FLAIR magnetic resonance.
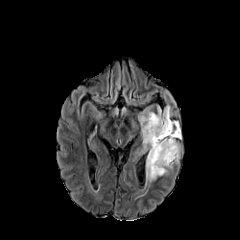
T1-weighted MR.
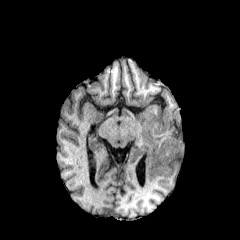
Post-contrast T1-weighted MRI.
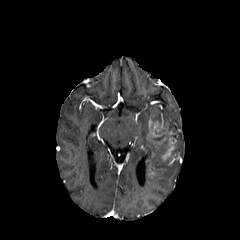
T2-weighted MR.
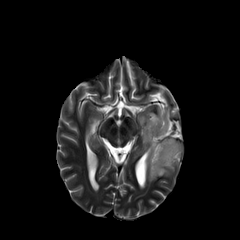
Axial plane. Brain.
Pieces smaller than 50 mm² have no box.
Findings:
* peritumoral edema: 139 106 179 181
* necrotic tumor core: 149 127 178 174
* enhancing tumor: 146 118 168 140, 161 137 176 160